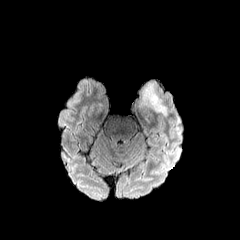
FLAIR MR image.
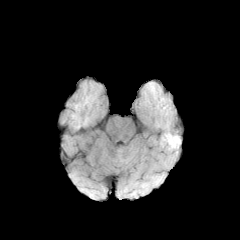
Same slice, T1-weighted MR.
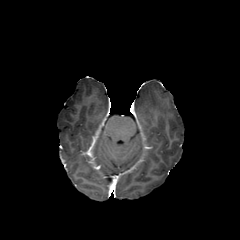
Post-contrast T1-weighted MR image.
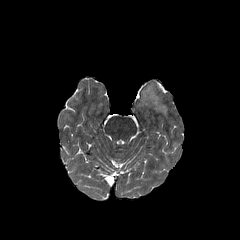
T2-weighted magnetic resonance.
Head.
The peritumoral edema is located at 138,83,167,116.